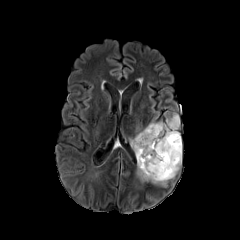
FLAIR MR.
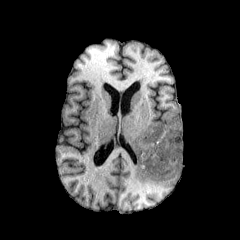
T1-weighted MR of the same slice.
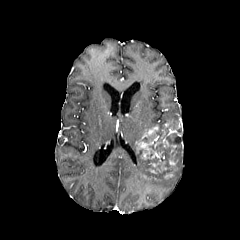
Post-contrast T1-weighted magnetic resonance.
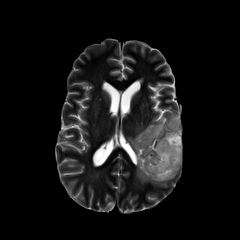
T2-weighted MR of the same slice.
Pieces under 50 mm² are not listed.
necrotic tumor core = x1=156, y1=127, x2=163, y2=141; x1=140, y1=133, x2=180, y2=179
peritumoral edema = x1=137, y1=155, x2=180, y2=186; x1=166, y1=114, x2=179, y2=126; x1=130, y1=122, x2=163, y2=153
enhancing tumor = x1=164, y1=168, x2=176, y2=178; x1=169, y1=154, x2=177, y2=166; x1=135, y1=125, x2=169, y2=172